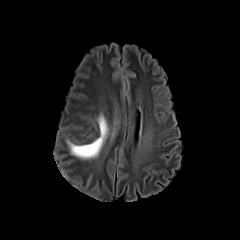
FLAIR MR image.
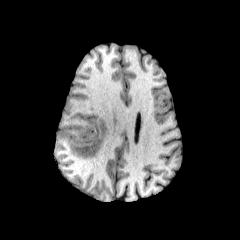
T1-weighted magnetic resonance.
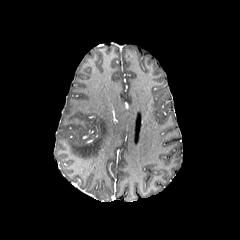
Same slice, post-contrast T1-weighted magnetic resonance.
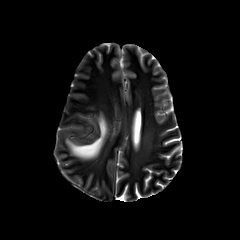
T2-weighted MRI.
Axial plane; Brain
The peritumoral edema is located at <bbox>68, 115, 107, 158</bbox>.